FLAIR MR image.
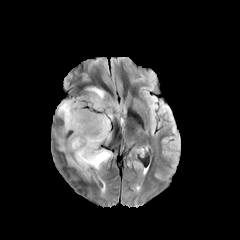
T1-weighted magnetic resonance.
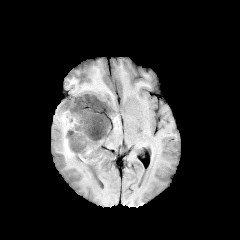
Post-contrast T1-weighted magnetic resonance.
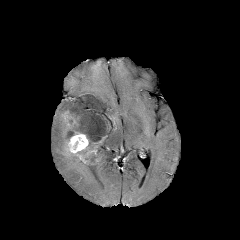
T2-weighted MRI.
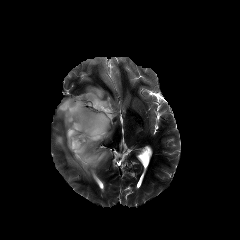
Brain. 240x240.
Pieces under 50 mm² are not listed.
The enhancing tumor appears at (x1=65, y1=130, x2=88, y2=154). 2 peritumoral edema regions appear at (x1=56, y1=135, x2=69, y2=151), (x1=57, y1=87, x2=119, y2=176). The largest necrotic tumor core region is located at (x1=66, y1=131, x2=74, y2=141).